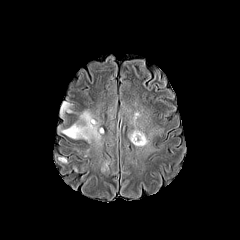
FLAIR MR image.
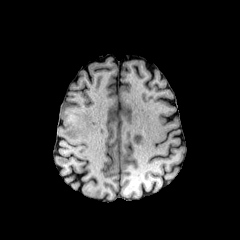
T1-weighted MR of the same slice.
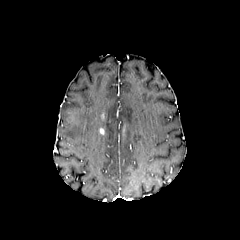
Post-contrast T1-weighted magnetic resonance of the same slice.
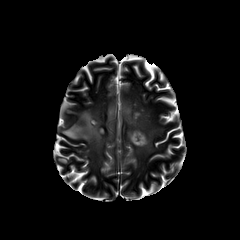
T2-weighted MR image of the same slice.
Axial view
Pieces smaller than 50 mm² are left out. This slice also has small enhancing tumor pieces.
4 peritumoral edema regions appear at (61,111,101,144), (133,112,140,123), (60,102,71,115), (130,129,148,146).